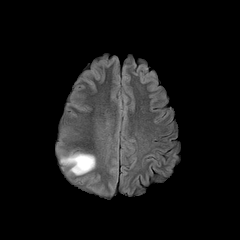
FLAIR MRI.
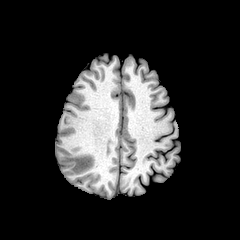
T1-weighted MR image of the same slice.
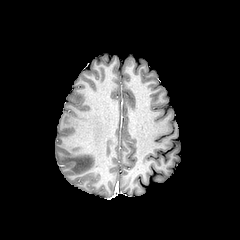
Post-contrast T1-weighted MR image.
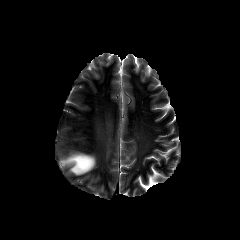
T2-weighted MR.
Brain, Axial plane
peritumoral edema = [x1=60, y1=153, x2=95, y2=175]